FLAIR MR image.
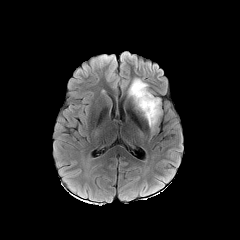
T1-weighted MR.
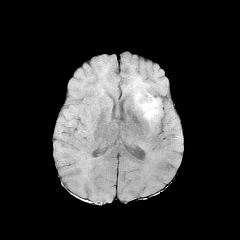
Post-contrast T1-weighted magnetic resonance.
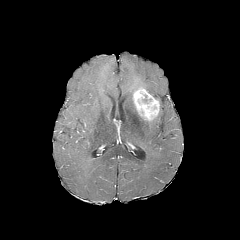
T2-weighted MRI.
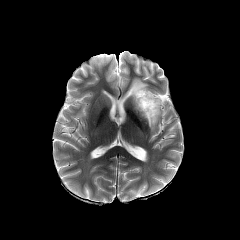
Brain.
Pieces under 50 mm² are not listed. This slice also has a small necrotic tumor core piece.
Annotated regions:
- enhancing tumor: 133, 87, 159, 120
- peritumoral edema: 148, 97, 161, 129; 128, 78, 151, 97